FLAIR MR.
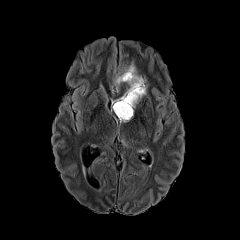
T1-weighted magnetic resonance.
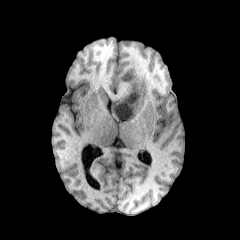
Post-contrast T1-weighted MR.
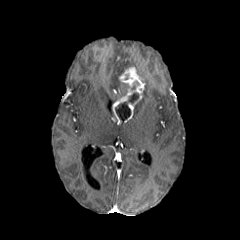
T2-weighted magnetic resonance.
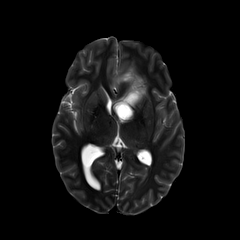
Axial view
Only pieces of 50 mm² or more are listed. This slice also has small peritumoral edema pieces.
necrotic tumor core = (x1=129, y1=93, x2=138, y2=103), (x1=115, y1=102, x2=130, y2=121)
enhancing tumor = (x1=112, y1=67, x2=144, y2=122)